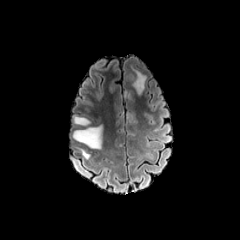
FLAIR MR image.
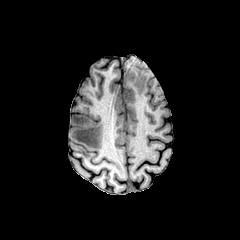
Same slice, T1-weighted MR image.
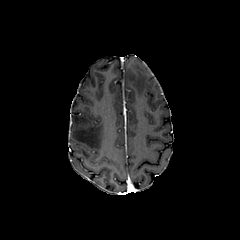
Post-contrast T1-weighted MRI.
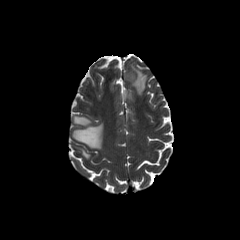
T2-weighted MRI.
Brain.
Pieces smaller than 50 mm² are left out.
The 3 largest peritumoral edema regions are located at box=[80, 149, 90, 159]; box=[131, 70, 146, 95]; box=[72, 116, 102, 149].